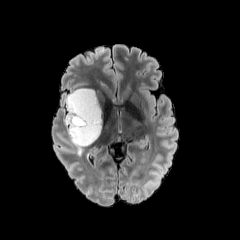
FLAIR MRI.
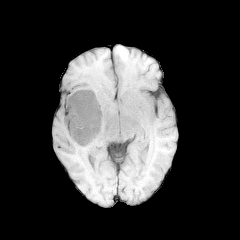
Same slice, T1-weighted MR image.
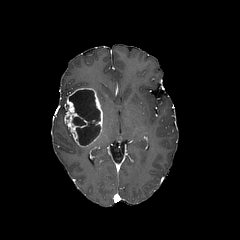
Post-contrast T1-weighted MRI.
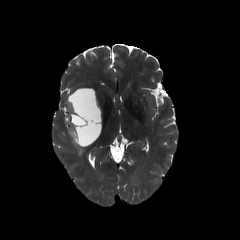
T2-weighted MR image.
Axial slice. Head.
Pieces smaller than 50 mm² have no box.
The enhancing tumor lies within l=64, t=87, r=102, b=146. The largest peritumoral edema region appears at l=67, t=128, r=84, b=155. The necrotic tumor core appears at l=69, t=90, r=100, b=145.